Slice index 114. 240x240.
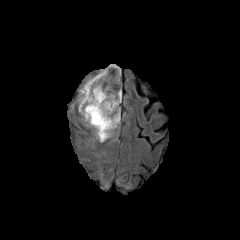
FLAIR magnetic resonance.
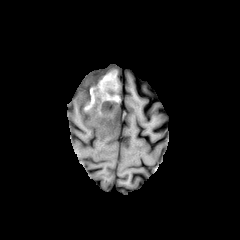
T1-weighted MRI.
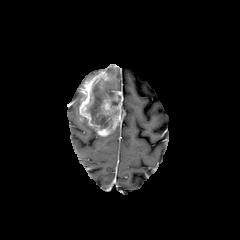
Post-contrast T1-weighted magnetic resonance of the same slice.
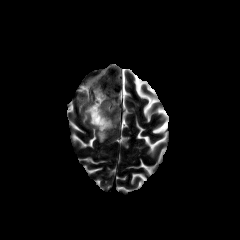
T2-weighted MRI.
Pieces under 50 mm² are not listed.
peritumoral edema: [95, 132, 112, 142]
enhancing tumor: [79, 64, 124, 136]
necrotic tumor core: [87, 67, 119, 128]